FLAIR magnetic resonance.
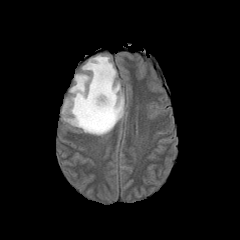
T1-weighted MR image.
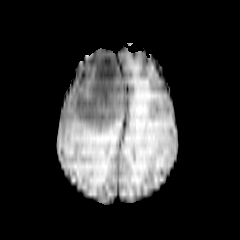
Post-contrast T1-weighted MRI.
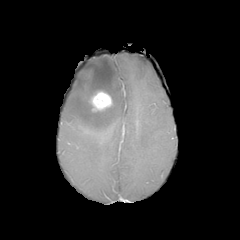
T2-weighted magnetic resonance.
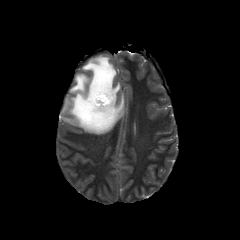
Axial slice
{"peritumoral_edema": ["<bbox>62, 55, 124, 135</bbox>"], "enhancing_tumor": ["<bbox>89, 90, 112, 111</bbox>"]}